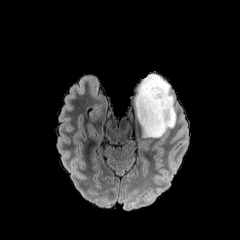
FLAIR MR.
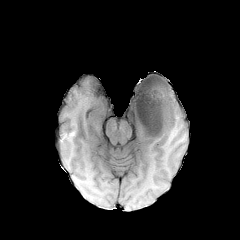
T1-weighted MR image.
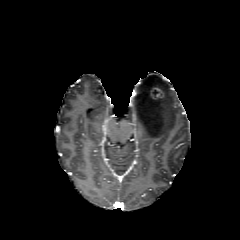
Post-contrast T1-weighted MR image of the same slice.
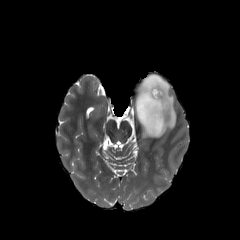
Same slice, T2-weighted MR.
Brain.
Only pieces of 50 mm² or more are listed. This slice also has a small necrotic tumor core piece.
enhancing tumor: <box>150,88,164,99</box> | peritumoral edema: <box>134,74,176,137</box>